FLAIR MR image.
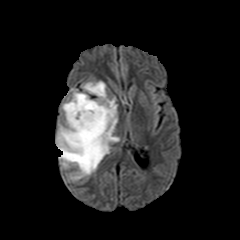
T1-weighted MRI.
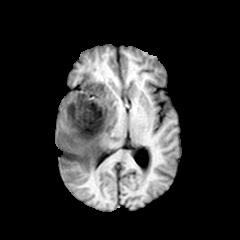
Post-contrast T1-weighted MR image.
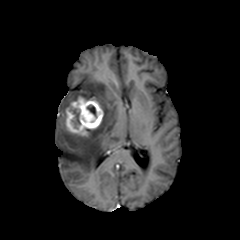
T2-weighted MR image.
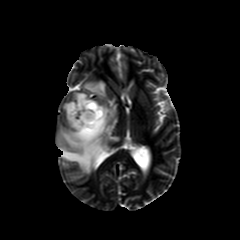
2 necrotic tumor core regions are located at box=[72, 109, 80, 127]; box=[87, 105, 96, 117]. 2 peritumoral edema regions appear at box=[62, 91, 93, 117]; box=[56, 81, 119, 180]. The enhancing tumor lies within box=[66, 96, 103, 136].